FLAIR magnetic resonance.
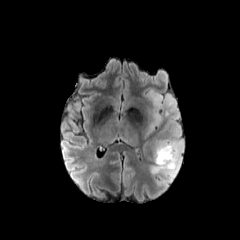
T1-weighted magnetic resonance.
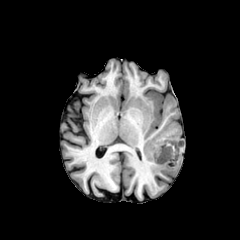
Post-contrast T1-weighted MRI.
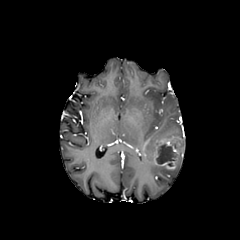
T2-weighted MR image.
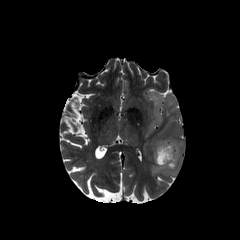
Head
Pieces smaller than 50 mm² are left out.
Findings:
• peritumoral edema: x1=142 y1=89 x2=184 y2=179
• enhancing tumor: x1=153 y1=136 x2=183 y2=169
• necrotic tumor core: x1=156 y1=144 x2=176 y2=164